Axial slice, Slice 87/155
FLAIR MRI.
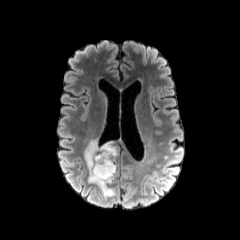
T1-weighted MR image.
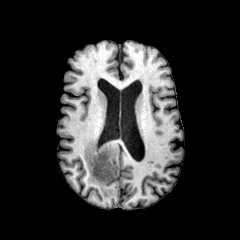
Post-contrast T1-weighted MR image.
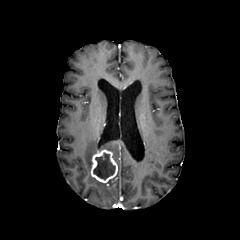
T2-weighted magnetic resonance.
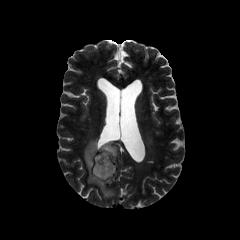
The peritumoral edema is located at box=[84, 139, 117, 197]. The enhancing tumor is bounded by box=[90, 149, 117, 183]. The necrotic tumor core is at box=[93, 153, 115, 179].